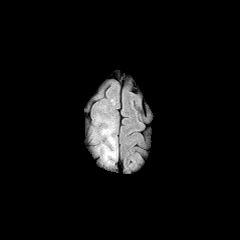
FLAIR MR.
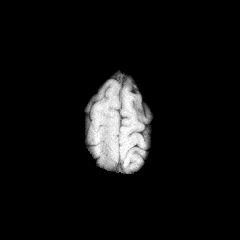
T1-weighted MR image of the same slice.
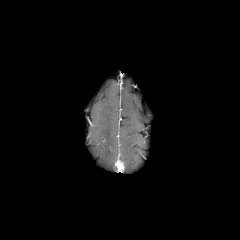
Post-contrast T1-weighted MRI.
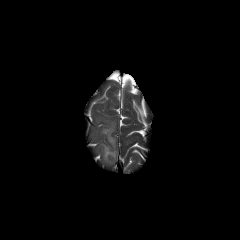
T2-weighted magnetic resonance.
Image size 240x240; Axial slice
peritumoral_edema:
  - [97,116,117,163]